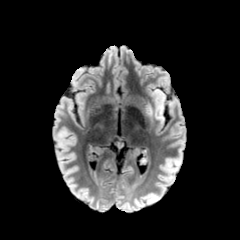
FLAIR magnetic resonance.
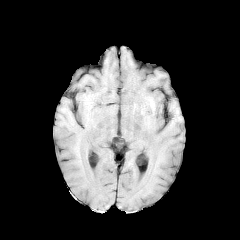
Same slice, T1-weighted MR.
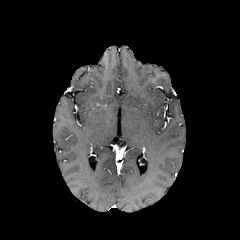
Post-contrast T1-weighted magnetic resonance.
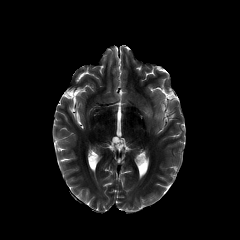
T2-weighted MR image.
240x240 px.
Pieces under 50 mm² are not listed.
peritumoral edema — x1=146 y1=93 x2=163 y2=124